Axial slice. Slice index 59.
FLAIR MRI.
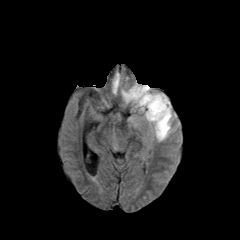
T1-weighted magnetic resonance.
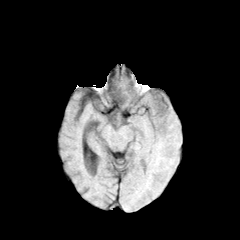
Post-contrast T1-weighted MR image.
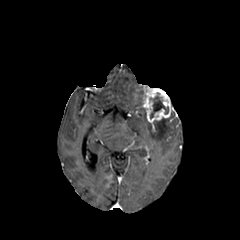
T2-weighted MRI.
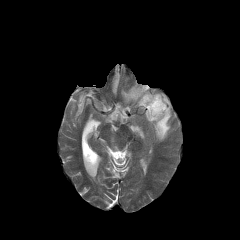
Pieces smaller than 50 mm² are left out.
necrotic_tumor_core:
  - 150, 96, 168, 118
peritumoral_edema:
  - 153, 112, 171, 140
  - 113, 74, 119, 93
  - 122, 85, 142, 106
enhancing_tumor:
  - 136, 86, 172, 123